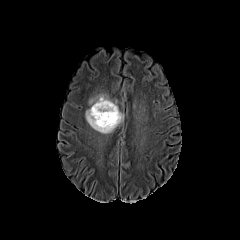
FLAIR MR image.
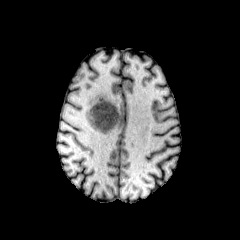
T1-weighted MRI of the same slice.
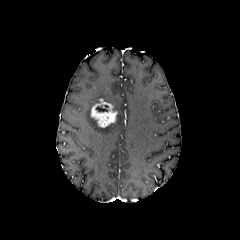
Post-contrast T1-weighted magnetic resonance of the same slice.
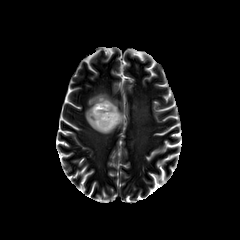
T2-weighted MR of the same slice.
* necrotic tumor core: bbox=[96, 105, 108, 111]
* enhancing tumor: bbox=[90, 99, 117, 127]
* peritumoral edema: bbox=[85, 93, 123, 133]